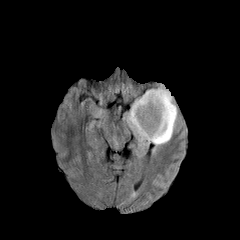
FLAIR MR image.
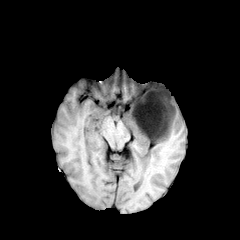
Same slice, T1-weighted magnetic resonance.
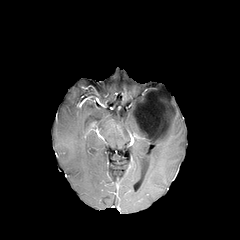
Same slice, post-contrast T1-weighted magnetic resonance.
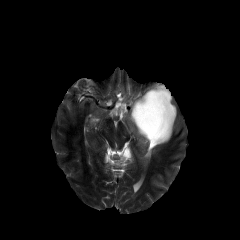
T2-weighted MR.
Brain
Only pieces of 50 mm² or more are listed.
necrotic_tumor_core:
  - l=134, t=88, r=172, b=140
enhancing_tumor:
  - l=132, t=87, r=174, b=141
peritumoral_edema:
  - l=126, t=94, r=177, b=152